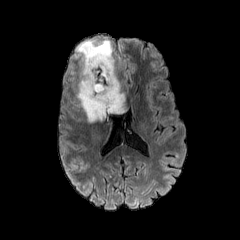
FLAIR MR.
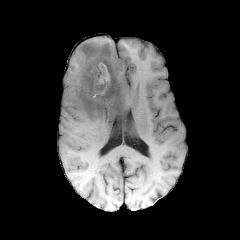
T1-weighted MR.
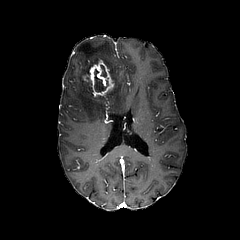
Same slice, post-contrast T1-weighted MRI.
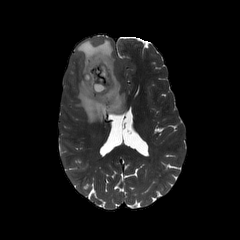
T2-weighted MRI.
Findings:
* necrotic tumor core: box(94, 69, 108, 91); box(100, 64, 106, 77)
* peritumoral edema: box(73, 39, 125, 122)
* enhancing tumor: box(84, 60, 114, 97)